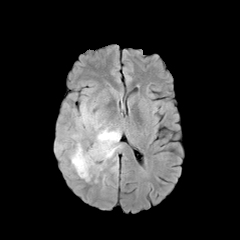
FLAIR MR image.
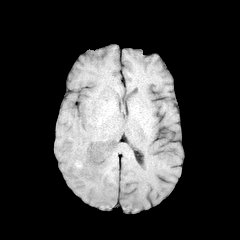
T1-weighted magnetic resonance.
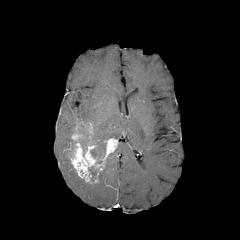
Post-contrast T1-weighted MR image.
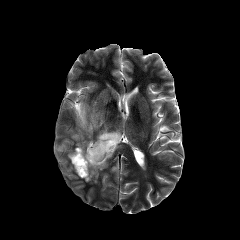
T2-weighted magnetic resonance.
240x240 | Brain
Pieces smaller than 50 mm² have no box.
The largest enhancing tumor region lies within 69,132,118,182. The 3 largest peritumoral edema regions are located at 105,144,122,167; 76,102,121,157; 55,139,68,152. The largest necrotic tumor core region appears at 89,167,98,178.